FLAIR MR image.
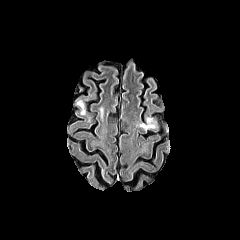
T1-weighted MR image.
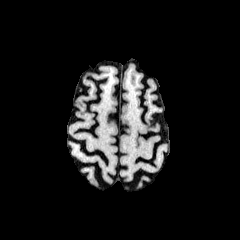
Post-contrast T1-weighted MRI.
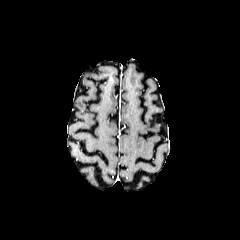
T2-weighted MRI.
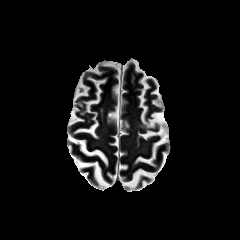
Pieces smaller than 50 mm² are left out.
Findings:
* peritumoral edema: box(140, 116, 157, 130); box(76, 100, 85, 115)